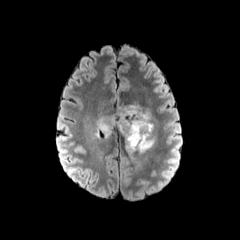
FLAIR MR.
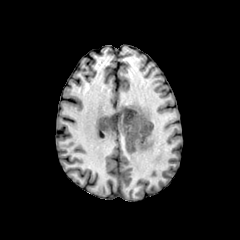
T1-weighted magnetic resonance of the same slice.
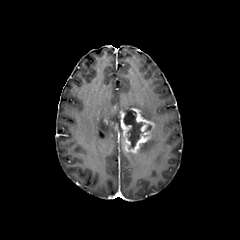
Post-contrast T1-weighted magnetic resonance.
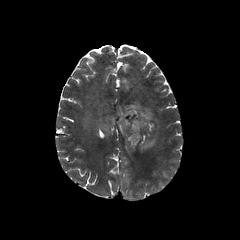
T2-weighted MR image.
Brain, Image size 240x240
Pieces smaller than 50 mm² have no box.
The 3 largest peritumoral edema regions are located at x1=123, y1=103, x2=152, y2=121; x1=138, y1=131, x2=156, y2=152; x1=98, y1=115, x2=113, y2=137. The enhancing tumor is at x1=107, y1=107, x2=154, y2=152. The largest necrotic tumor core region appears at x1=123, y1=109, x2=143, y2=147.